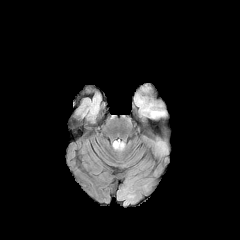
FLAIR MR.
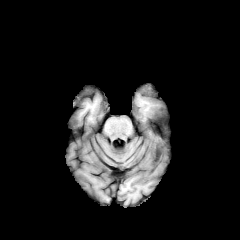
T1-weighted magnetic resonance.
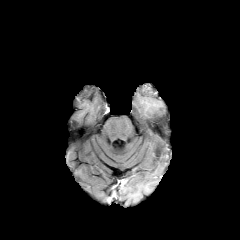
Same slice, post-contrast T1-weighted MR image.
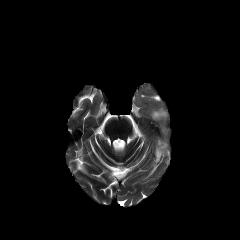
T2-weighted MRI.
peritumoral edema: l=151, t=111, r=162, b=117